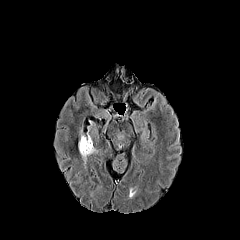
FLAIR MR image.
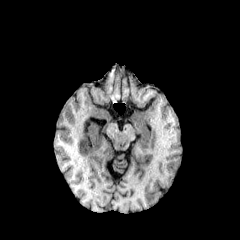
Same slice, T1-weighted magnetic resonance.
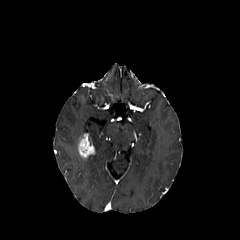
Same slice, post-contrast T1-weighted magnetic resonance.
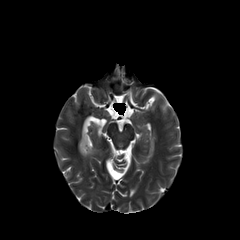
T2-weighted MRI.
Image size 240x240. Head.
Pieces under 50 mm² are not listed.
enhancing tumor: 78,135,96,158 | peritumoral edema: 78,150,98,161